Axial slice
FLAIR MRI.
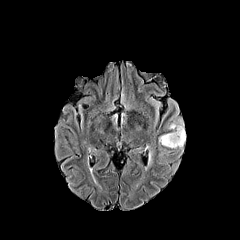
T1-weighted MRI.
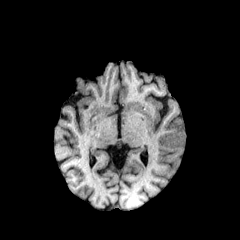
Post-contrast T1-weighted MR image.
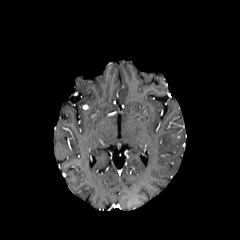
T2-weighted MRI.
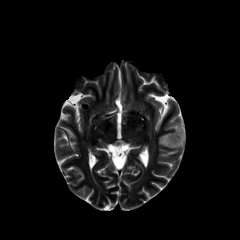
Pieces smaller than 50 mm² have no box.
Annotated regions:
- enhancing tumor: box=[169, 133, 179, 143]
- peritumoral edema: box=[159, 124, 185, 148]